Axial view; Slice 99/155; Brain
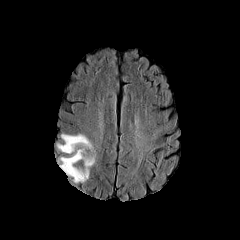
FLAIR MRI.
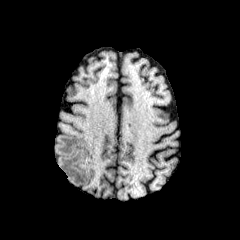
T1-weighted MRI of the same slice.
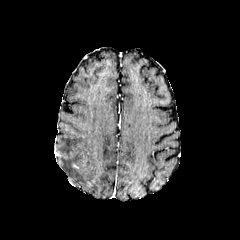
Post-contrast T1-weighted MRI.
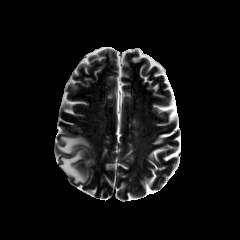
T2-weighted magnetic resonance of the same slice.
{"peritumoral_edema": ["[57,134,94,182]"]}